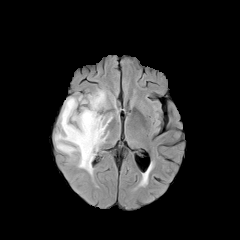
FLAIR magnetic resonance.
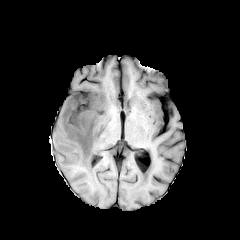
T1-weighted MR image of the same slice.
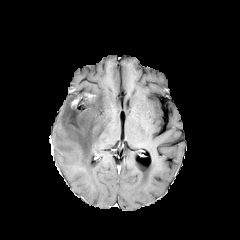
Same slice, post-contrast T1-weighted MR.
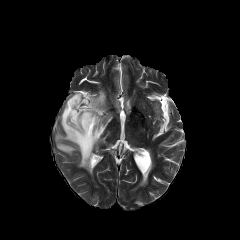
T2-weighted MR.
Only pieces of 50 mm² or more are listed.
enhancing tumor = l=71, t=93, r=94, b=105
peritumoral edema = l=55, t=90, r=112, b=174